Head
FLAIR MR.
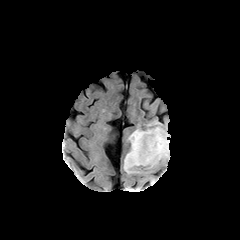
T1-weighted MR image.
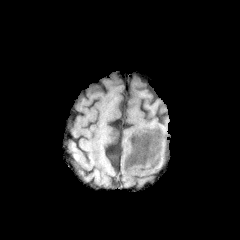
Post-contrast T1-weighted magnetic resonance.
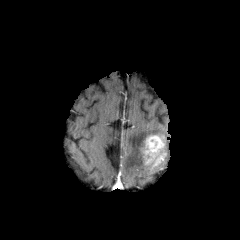
T2-weighted MRI.
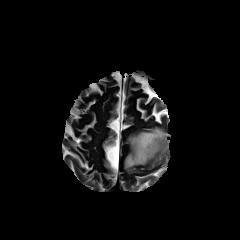
<segmentation>
  <peritumoral_edema>region(124, 127, 169, 173)</peritumoral_edema>
  <enhancing_tumor>region(140, 134, 166, 166)</enhancing_tumor>
</segmentation>